FLAIR MR image.
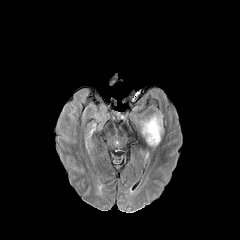
T1-weighted MRI.
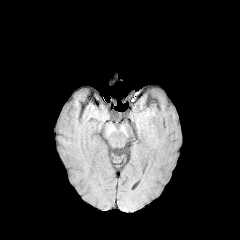
Post-contrast T1-weighted MR.
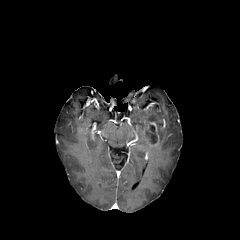
T2-weighted MR image.
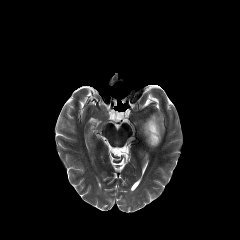
Axial view. Brain.
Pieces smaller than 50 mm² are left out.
necrotic tumor core at bbox=[145, 125, 157, 144]
peritumoral edema at bbox=[141, 112, 163, 142]
enhancing tumor at bbox=[146, 121, 161, 146]